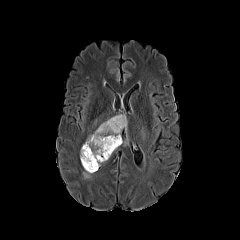
FLAIR MR.
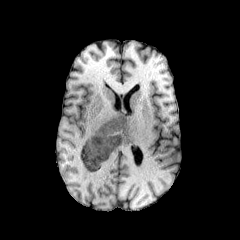
Same slice, T1-weighted MR image.
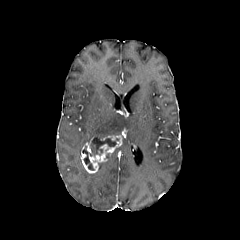
Same slice, post-contrast T1-weighted MRI.
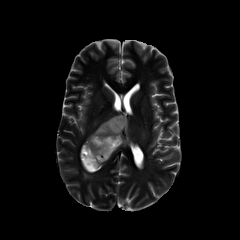
T2-weighted MR.
Axial plane
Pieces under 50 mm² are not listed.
Segmented structures:
• peritumoral edema: x1=85 y1=115 x2=127 y2=142
• enhancing tumor: x1=80 y1=135 x2=122 y2=173
• necrotic tumor core: x1=83 y1=137 x2=118 y2=170